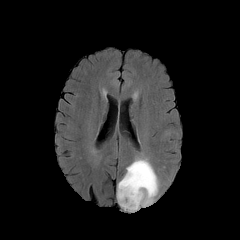
FLAIR magnetic resonance.
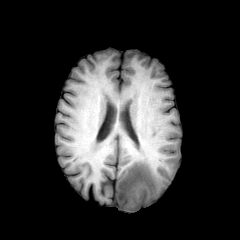
Same slice, T1-weighted MRI.
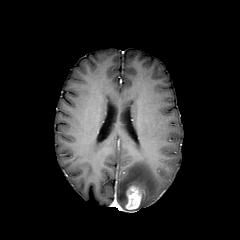
Same slice, post-contrast T1-weighted magnetic resonance.
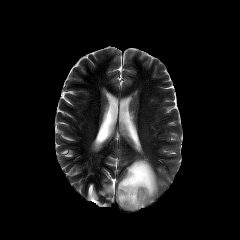
Same slice, T2-weighted magnetic resonance.
Axial plane, Brain
enhancing tumor: bounding box [125, 187, 141, 208]
peritumoral edema: bounding box [117, 158, 159, 211]